Slice 89/155
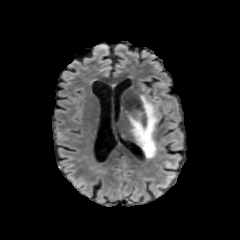
FLAIR MR image.
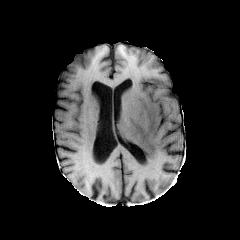
T1-weighted MRI.
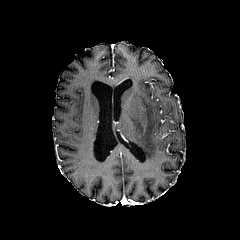
Same slice, post-contrast T1-weighted magnetic resonance.
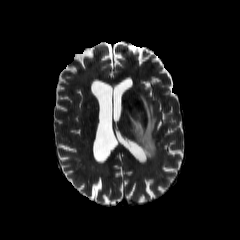
Same slice, T2-weighted MR.
peritumoral edema: [119,94,157,157]